Slice index 63. Brain.
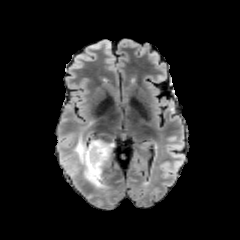
FLAIR MRI.
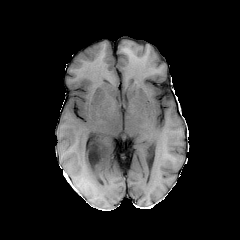
T1-weighted MR.
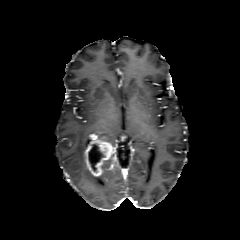
Post-contrast T1-weighted magnetic resonance.
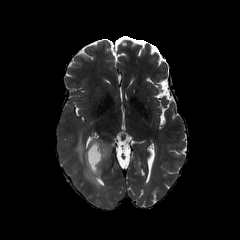
T2-weighted MR image.
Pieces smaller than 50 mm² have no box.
{
  "enhancing_tumor": [
    "84,134,117,176"
  ],
  "necrotic_tumor_core": [
    "88,144,103,171"
  ],
  "peritumoral_edema": [
    "73,132,104,188"
  ]
}